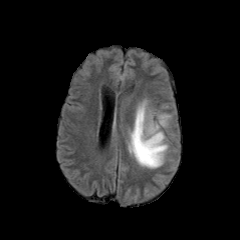
FLAIR MRI.
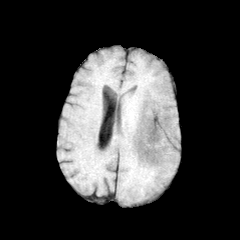
T1-weighted magnetic resonance.
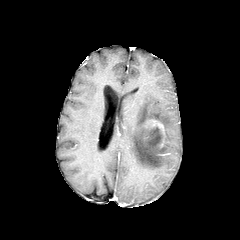
Post-contrast T1-weighted MR image.
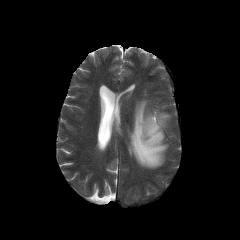
Same slice, T2-weighted MR image.
Axial view | Brain
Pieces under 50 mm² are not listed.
peritumoral edema: bounding box [x1=128, y1=100, x2=171, y2=168]
necrotic tumor core: bounding box [x1=151, y1=127, x2=157, y2=139]
enhancing tumor: bounding box [x1=144, y1=119, x2=163, y2=140]